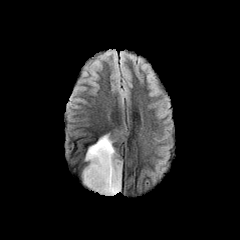
FLAIR MR image.
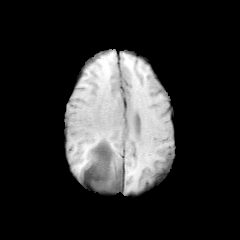
Same slice, T1-weighted MR image.
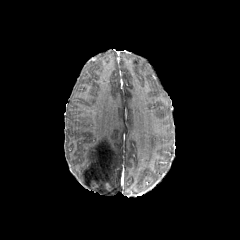
Post-contrast T1-weighted MR of the same slice.
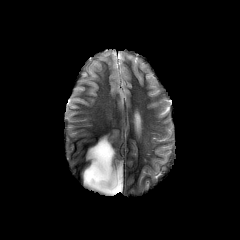
T2-weighted MRI.
Axial view, 240x240
Annotated regions:
• peritumoral edema: [82,134,121,195]